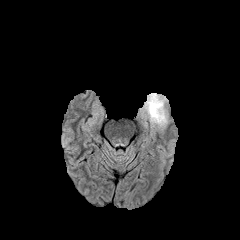
FLAIR MRI.
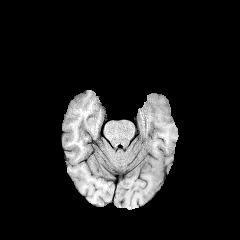
T1-weighted magnetic resonance of the same slice.
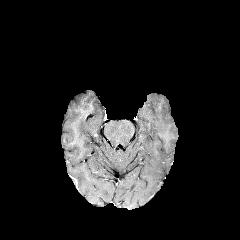
Post-contrast T1-weighted MRI.
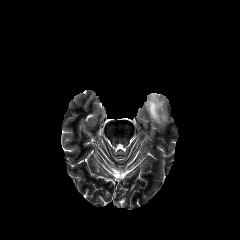
T2-weighted MR image.
Head, Axial view
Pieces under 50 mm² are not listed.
{"peritumoral_edema": ["(x1=141, y1=93, x2=168, y2=127)"]}